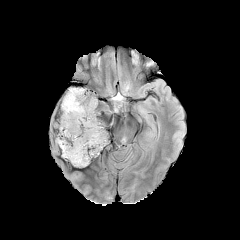
FLAIR MR image.
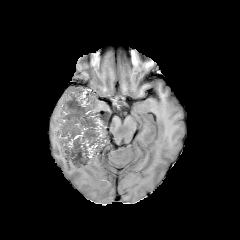
Same slice, T1-weighted magnetic resonance.
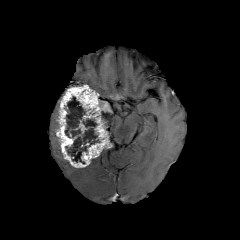
Same slice, post-contrast T1-weighted MR image.
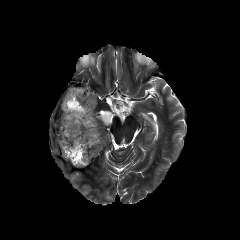
T2-weighted MR image.
Brain
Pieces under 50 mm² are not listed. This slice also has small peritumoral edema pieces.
The 2 largest necrotic tumor core regions are located at (left=101, top=112, right=113, bottom=127), (left=65, top=96, right=99, bottom=163). The largest enhancing tumor region is located at (left=56, top=85, right=111, bottom=167).